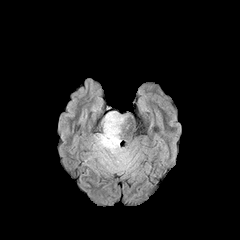
FLAIR MR image.
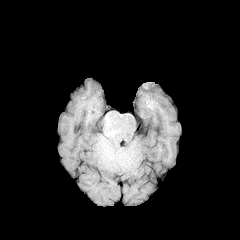
T1-weighted magnetic resonance.
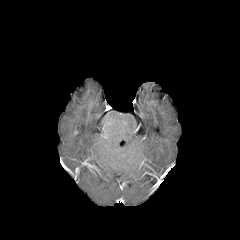
Same slice, post-contrast T1-weighted MR.
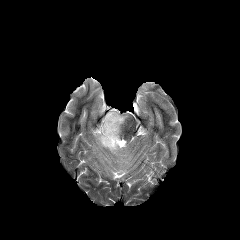
Same slice, T2-weighted MR image.
Axial slice
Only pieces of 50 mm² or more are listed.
{"peritumoral_edema": ["<bbox>89, 111, 134, 172</bbox>"]}